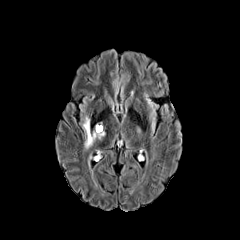
FLAIR MR.
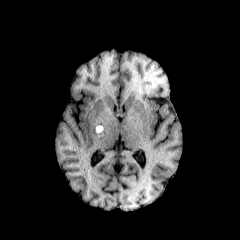
Same slice, T1-weighted MR image.
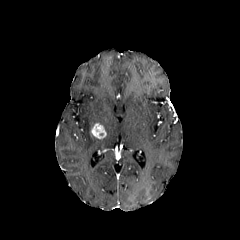
Post-contrast T1-weighted MR.
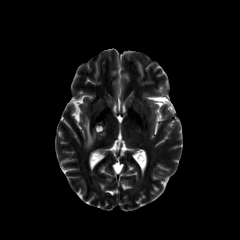
T2-weighted magnetic resonance.
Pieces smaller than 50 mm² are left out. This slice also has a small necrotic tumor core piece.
The enhancing tumor lies within [90, 123, 106, 139]. The peritumoral edema appears at [83, 116, 96, 149].